FLAIR MR image.
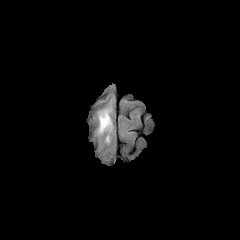
T1-weighted MRI.
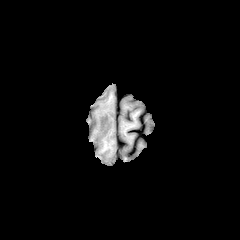
Post-contrast T1-weighted MRI.
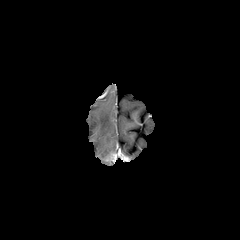
T2-weighted MR.
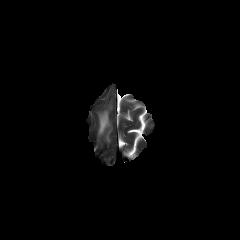
Brain
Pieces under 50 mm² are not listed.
The largest peritumoral edema region is bounded by 98,109,111,134.